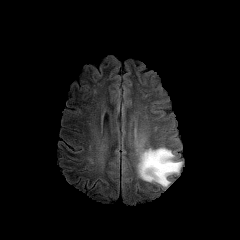
FLAIR MR image.
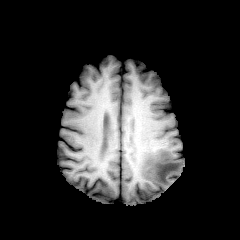
T1-weighted MR image.
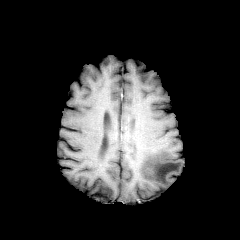
Same slice, post-contrast T1-weighted MR.
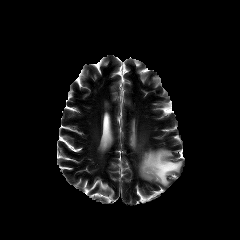
T2-weighted magnetic resonance.
Axial view
The peritumoral edema is located at 138, 148, 182, 186.